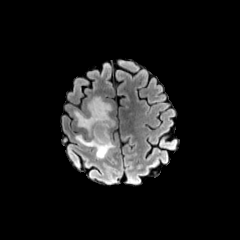
FLAIR MR.
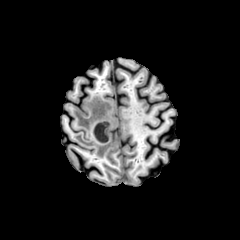
T1-weighted MR.
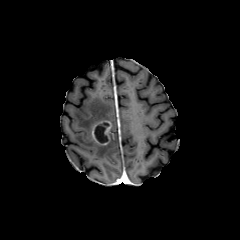
Post-contrast T1-weighted MRI.
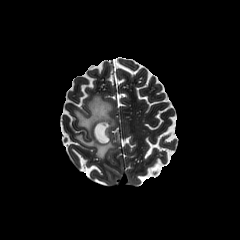
T2-weighted MR image of the same slice.
peritumoral edema: rect(74, 96, 115, 158) | necrotic tumor core: rect(94, 122, 109, 143) | enhancing tumor: rect(92, 120, 111, 145)